Axial view.
FLAIR magnetic resonance.
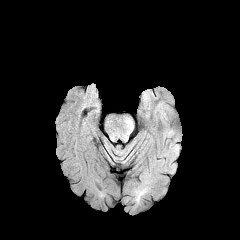
T1-weighted magnetic resonance.
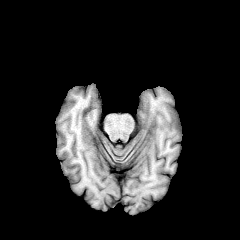
Post-contrast T1-weighted MR.
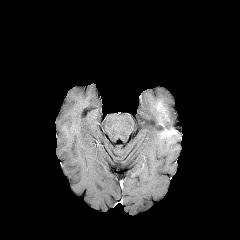
T2-weighted MRI.
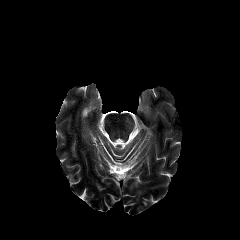
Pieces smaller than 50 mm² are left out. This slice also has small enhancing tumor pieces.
The largest peritumoral edema region lies within {"x1": 156, "y1": 102, "x2": 165, "y2": 119}.